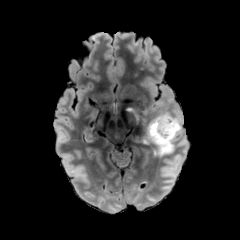
FLAIR MR image.
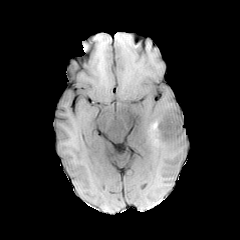
T1-weighted MRI of the same slice.
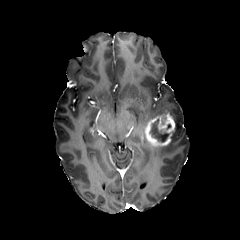
Same slice, post-contrast T1-weighted MRI.
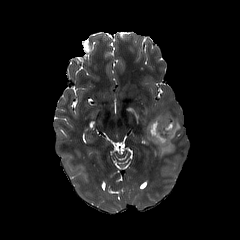
T2-weighted MR image.
Axial slice, 240x240
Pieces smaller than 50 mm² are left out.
enhancing tumor: box(142, 112, 175, 146) | peritumoral edema: box(126, 107, 139, 121); box(154, 111, 182, 157) | necrotic tumor core: box(151, 119, 169, 141)